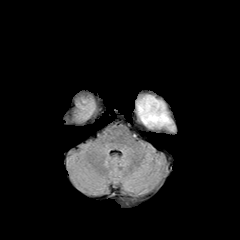
FLAIR MRI.
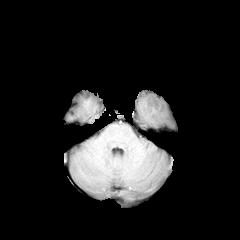
T1-weighted MR image.
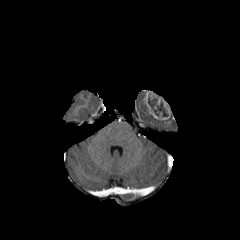
Post-contrast T1-weighted MRI.
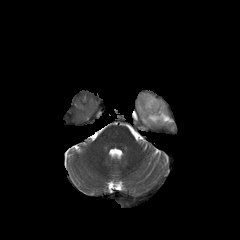
T2-weighted magnetic resonance.
240x240 px; Head; Axial view
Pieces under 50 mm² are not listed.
- necrotic tumor core: {"x1": 149, "y1": 114, "x2": 170, "y2": 123}, {"x1": 148, "y1": 97, "x2": 167, "y2": 116}
- peritumoral edema: {"x1": 137, "y1": 96, "x2": 173, "y2": 129}
- enhancing tumor: {"x1": 143, "y1": 91, "x2": 171, "y2": 120}